Slice 87 of 155. 240x240 px.
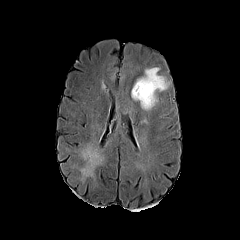
FLAIR MRI.
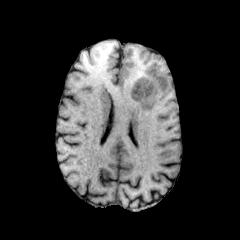
Same slice, T1-weighted MR.
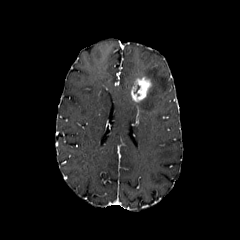
Same slice, post-contrast T1-weighted MRI.
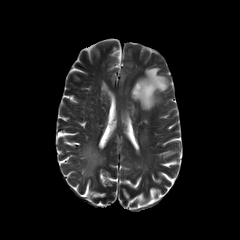
Same slice, T2-weighted MR.
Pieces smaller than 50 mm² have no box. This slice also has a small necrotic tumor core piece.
<segmentation>
  <enhancing_tumor>[131, 77, 151, 101]</enhancing_tumor>
  <peritumoral_edema>[140, 67, 169, 110]</peritumoral_edema>
</segmentation>